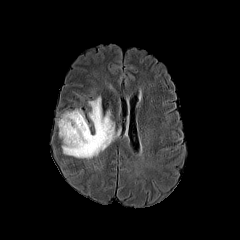
FLAIR MR image.
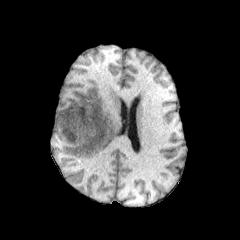
Same slice, T1-weighted MR image.
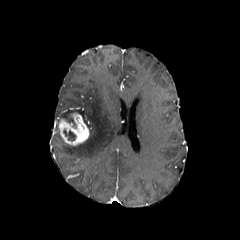
Same slice, post-contrast T1-weighted MR image.
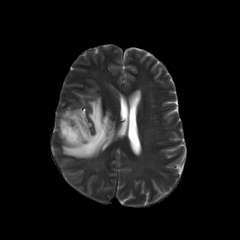
Same slice, T2-weighted MRI.
Axial plane; Brain
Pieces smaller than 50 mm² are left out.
The largest necrotic tumor core region is bounded by x1=63, y1=130, x2=75, y2=140. 2 peritumoral edema regions are bounded by x1=62, y1=109, x2=88, y2=127; x1=62, y1=96, x2=118, y2=158. The enhancing tumor appears at x1=58, y1=112, x2=89, y2=145.